FLAIR magnetic resonance.
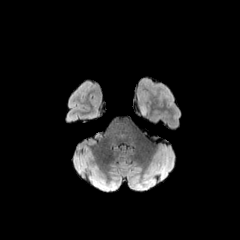
T1-weighted magnetic resonance.
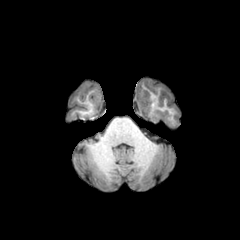
Post-contrast T1-weighted magnetic resonance.
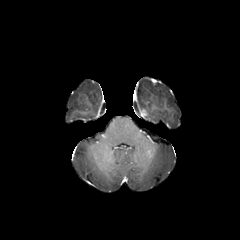
T2-weighted MRI.
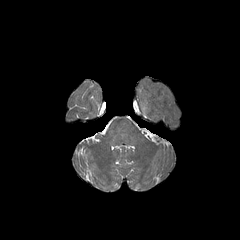
240x240; Axial view
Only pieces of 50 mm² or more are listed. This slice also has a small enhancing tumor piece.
peritumoral edema: 140,102,148,113